Image width 240 mm | Head
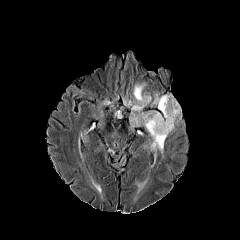
FLAIR MR.
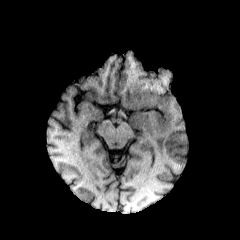
T1-weighted MRI.
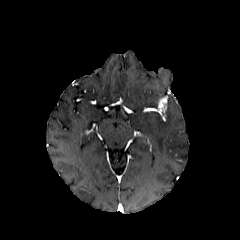
Post-contrast T1-weighted MR of the same slice.
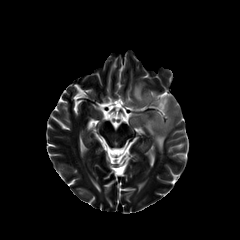
T2-weighted MR image of the same slice.
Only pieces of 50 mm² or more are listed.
peritumoral_edema:
  - <box>132,84,151,109</box>
  - <box>142,96,180,153</box>
enhancing_tumor:
  - <box>157,96,167,116</box>